Axial plane. Head.
FLAIR magnetic resonance.
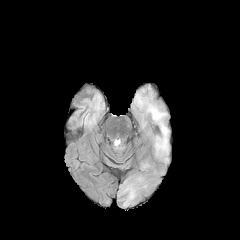
T1-weighted magnetic resonance.
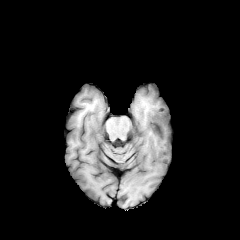
Post-contrast T1-weighted magnetic resonance.
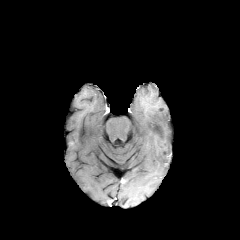
T2-weighted magnetic resonance.
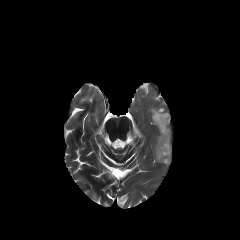
peritumoral edema: bounding box rect(152, 110, 167, 148)